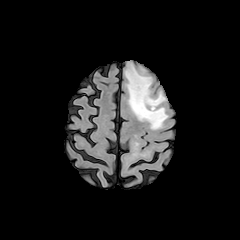
FLAIR MRI.
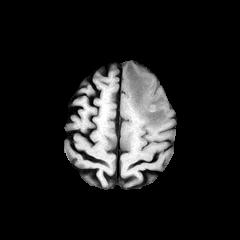
T1-weighted MRI.
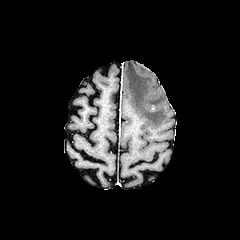
Post-contrast T1-weighted MR.
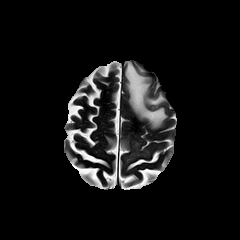
T2-weighted MR.
240x240 px | Axial plane
Findings:
* peritumoral edema: 125, 61, 167, 129